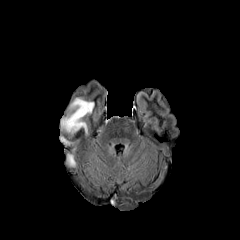
FLAIR MRI.
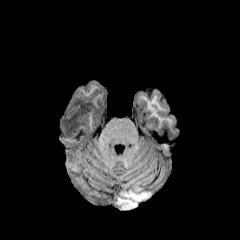
T1-weighted MR image of the same slice.
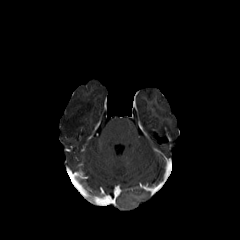
Same slice, post-contrast T1-weighted MRI.
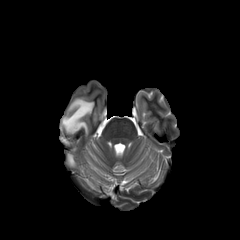
T2-weighted magnetic resonance.
Image size 240x240; Axial plane
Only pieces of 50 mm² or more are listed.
peritumoral_edema:
  - box(68, 154, 75, 166)
  - box(61, 98, 94, 133)